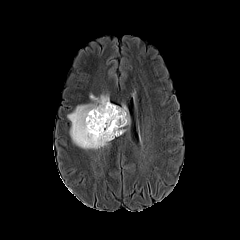
FLAIR MR.
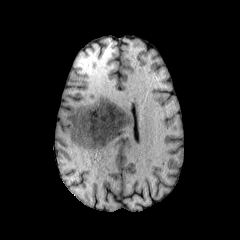
Same slice, T1-weighted MRI.
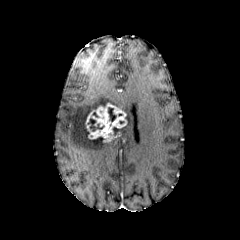
Post-contrast T1-weighted magnetic resonance.
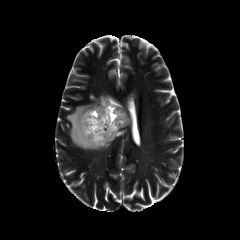
Same slice, T2-weighted MR.
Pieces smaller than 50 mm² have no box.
Segmented structures:
* enhancing tumor: region(85, 103, 127, 142)
* necrotic tumor core: region(106, 107, 116, 123); region(88, 118, 104, 131)
* peritumoral edema: region(67, 95, 109, 149)